Brain. 240x240 px.
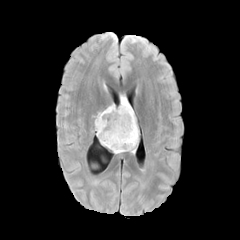
FLAIR MR.
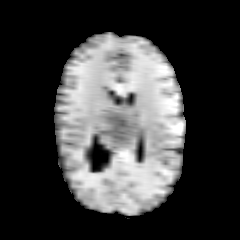
T1-weighted magnetic resonance.
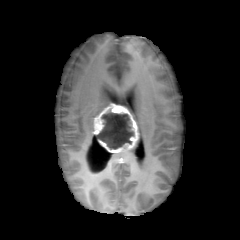
Same slice, post-contrast T1-weighted MR image.
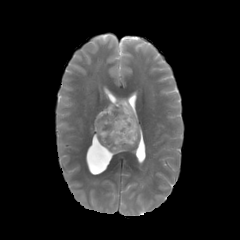
Same slice, T2-weighted MR image.
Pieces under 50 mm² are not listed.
The necrotic tumor core is at box=[98, 112, 133, 148]. The enhancing tumor is at box=[94, 103, 139, 153]. The largest peritumoral edema region lies within box=[120, 95, 136, 121].